Axial slice, Slice 97/155
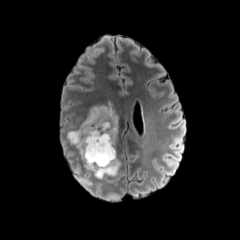
FLAIR MR image.
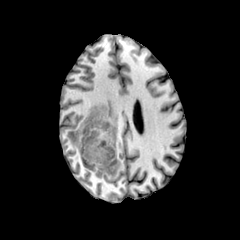
Same slice, T1-weighted MR.
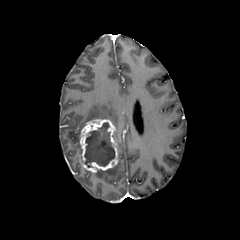
Same slice, post-contrast T1-weighted magnetic resonance.
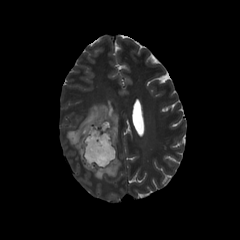
Same slice, T2-weighted magnetic resonance.
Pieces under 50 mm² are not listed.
enhancing_tumor:
  - bbox=[79, 119, 118, 172]
peritumoral_edema:
  - bbox=[67, 105, 117, 153]
  - bbox=[94, 161, 120, 179]
necrotic_tumor_core:
  - bbox=[84, 122, 114, 167]